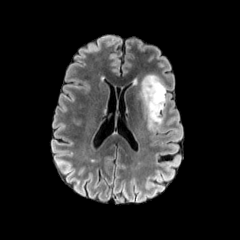
FLAIR MR image.
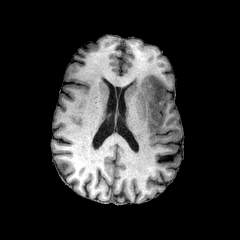
T1-weighted MRI.
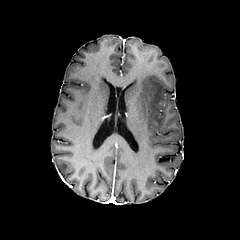
Same slice, post-contrast T1-weighted MRI.
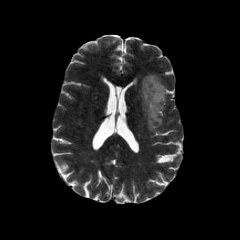
T2-weighted MR image.
Head; 240x240
{
  "peritumoral_edema": [
    "(139, 74, 166, 131)"
  ]
}